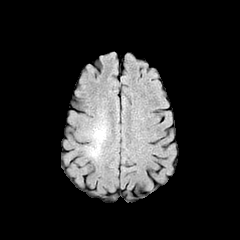
FLAIR MR.
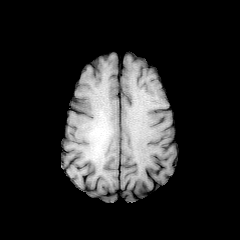
T1-weighted MR image.
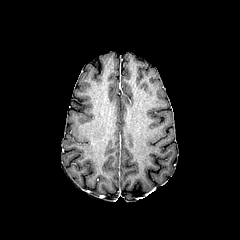
Same slice, post-contrast T1-weighted magnetic resonance.
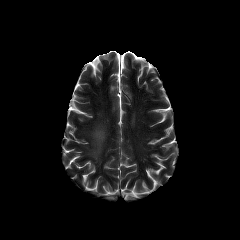
T2-weighted MR image.
Axial slice
The peritumoral edema is located at x1=81, y1=109, x2=110, y2=170.